240x240 | Brain | Axial view
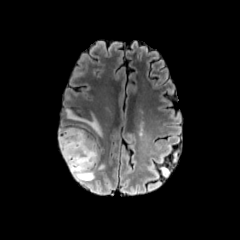
FLAIR MR.
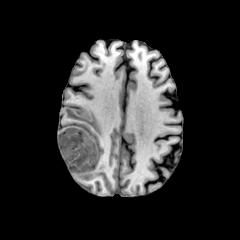
T1-weighted magnetic resonance.
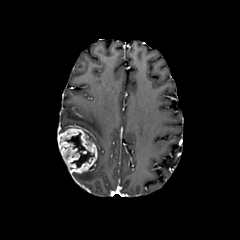
Same slice, post-contrast T1-weighted magnetic resonance.
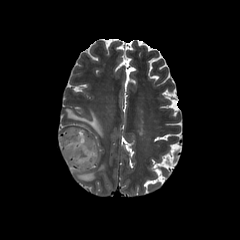
Same slice, T2-weighted MR.
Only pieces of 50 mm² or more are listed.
necrotic tumor core: [65,133,94,167] | enhancing tumor: [57,126,97,173] | peritumoral edema: [58,108,103,182]